Slice index 101. Head. Image covers 240 mm x 240 mm.
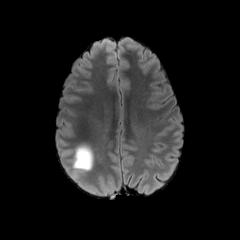
FLAIR MRI.
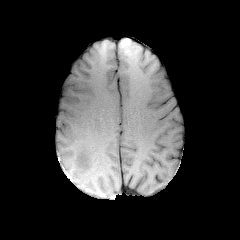
T1-weighted MRI of the same slice.
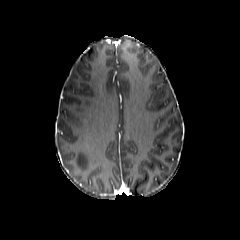
Post-contrast T1-weighted MR of the same slice.
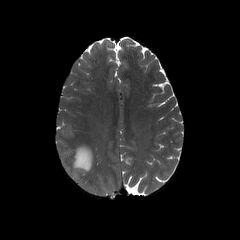
T2-weighted MR image of the same slice.
<segmentation>
  <peritumoral_edema><box>72,144,93,172</box></peritumoral_edema>
</segmentation>